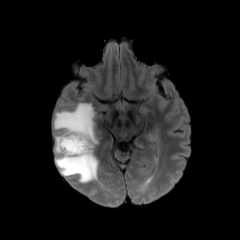
FLAIR MR image.
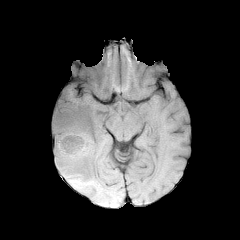
T1-weighted MR.
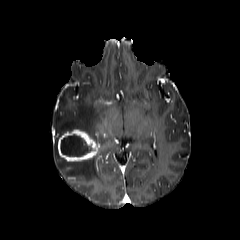
Post-contrast T1-weighted MR image.
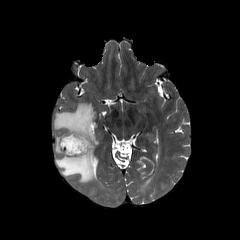
Same slice, T2-weighted MR image.
Image size 240x240.
enhancing tumor at 57,129,99,161
necrotic tumor core at 61,135,91,156
peritumoral edema at 53,102,99,183